Image covers 240 mm x 240 mm, Brain, Slice 88 of 155, Axial slice
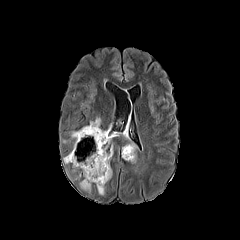
FLAIR magnetic resonance.
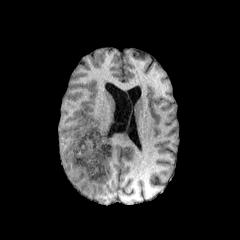
T1-weighted MR image.
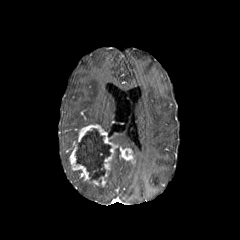
Post-contrast T1-weighted MRI.
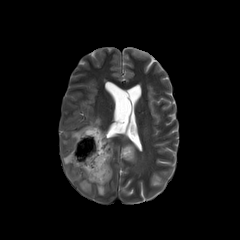
T2-weighted MR of the same slice.
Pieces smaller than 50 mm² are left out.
{"enhancing_tumor": ["120,147,135,162", "69,124,117,186"], "peritumoral_edema": ["79,180,91,192", "63,153,70,164", "97,186,104,195", "122,143,136,160", "71,131,78,142"], "necrotic_tumor_core": ["76,128,111,180"]}